FLAIR MRI.
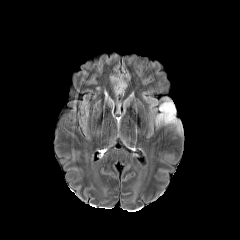
T1-weighted MRI.
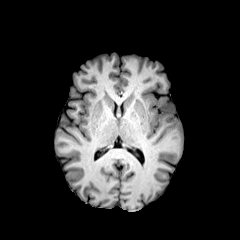
Post-contrast T1-weighted MR.
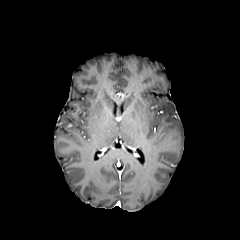
T2-weighted MR image.
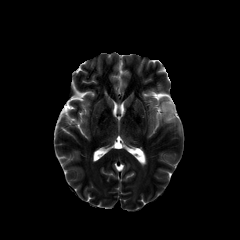
Head. 240x240 px. Axial slice.
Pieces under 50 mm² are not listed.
The largest peritumoral edema region is located at box=[156, 101, 181, 130].